FLAIR MR.
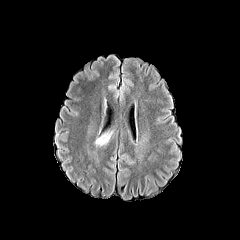
T1-weighted MR image.
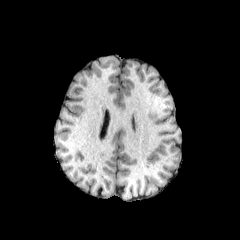
Post-contrast T1-weighted MR.
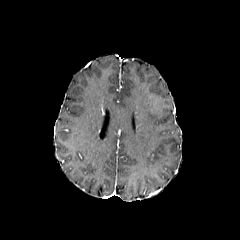
T2-weighted MR image.
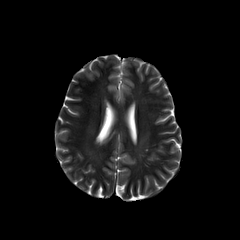
Axial plane, Image size 240x240
peritumoral edema: (95, 133, 110, 145)